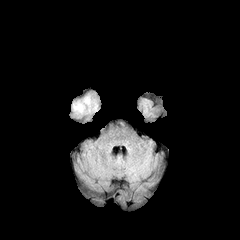
FLAIR MR.
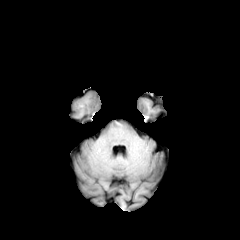
T1-weighted magnetic resonance of the same slice.
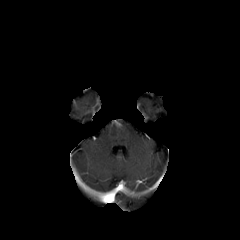
Post-contrast T1-weighted MR.
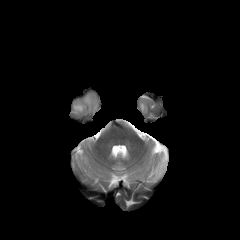
T2-weighted MR image of the same slice.
240x240 px.
peritumoral edema: <box>73,95,97,114</box>